Slice index 107
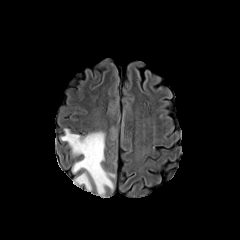
FLAIR MR image.
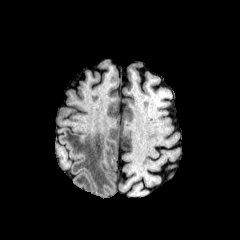
T1-weighted MR image of the same slice.
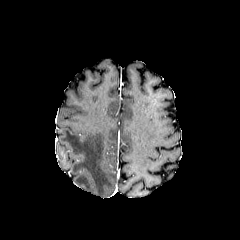
Post-contrast T1-weighted MRI of the same slice.
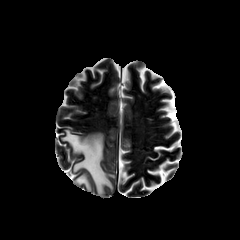
T2-weighted MR.
2 peritumoral edema regions are located at region(74, 173, 91, 191); region(61, 129, 114, 196).